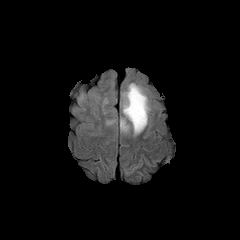
FLAIR MR.
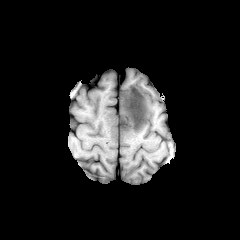
Same slice, T1-weighted MRI.
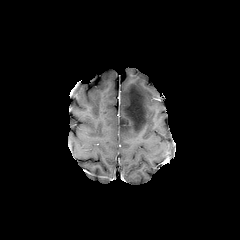
Post-contrast T1-weighted magnetic resonance.
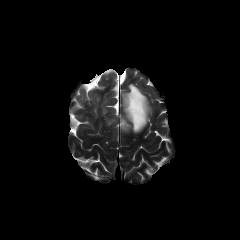
Same slice, T2-weighted MR.
Brain, 240x240 px, Axial view
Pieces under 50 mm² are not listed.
peritumoral edema: rect(120, 83, 150, 134)